FLAIR magnetic resonance.
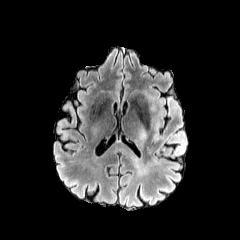
T1-weighted MR image.
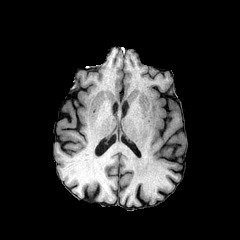
Post-contrast T1-weighted MR.
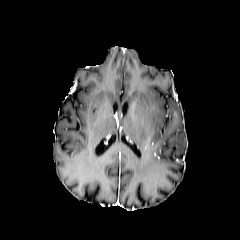
T2-weighted MRI.
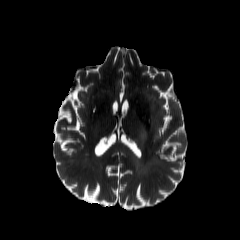
Head
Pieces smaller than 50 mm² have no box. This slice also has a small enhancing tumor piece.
The peritumoral edema is at box=[140, 91, 187, 163].